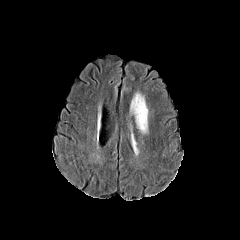
FLAIR magnetic resonance.
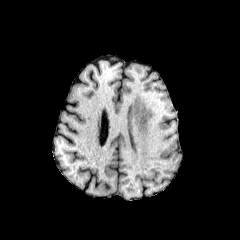
T1-weighted MR.
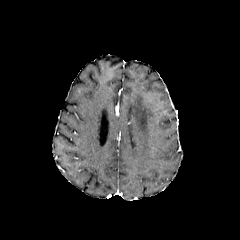
Post-contrast T1-weighted MR of the same slice.
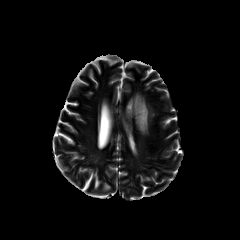
T2-weighted MR image.
Axial slice
{"peritumoral_edema": ["x1=130 y1=93 x2=148 y2=133"]}